Image covers 240 mm x 240 mm; Image size 240x240; Slice 81 of 155
FLAIR MR image.
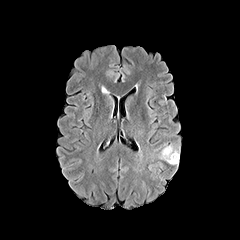
T1-weighted MRI.
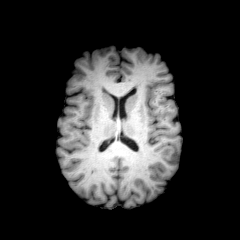
Post-contrast T1-weighted magnetic resonance.
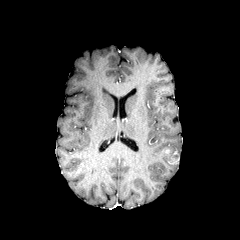
T2-weighted MRI.
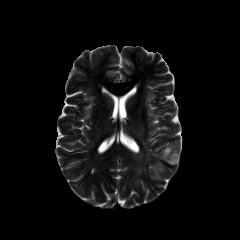
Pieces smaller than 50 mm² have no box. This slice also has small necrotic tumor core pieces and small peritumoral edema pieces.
enhancing tumor: [x1=168, y1=151, x2=179, y2=164], [x1=161, y1=148, x2=171, y2=158]